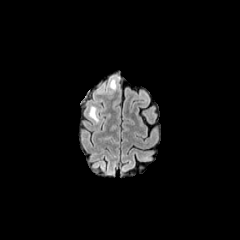
FLAIR MR.
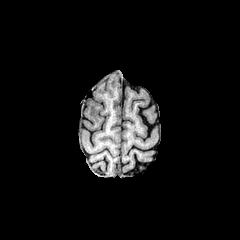
T1-weighted MR image.
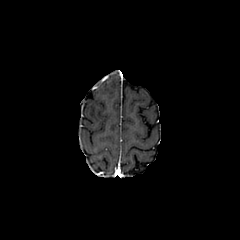
Post-contrast T1-weighted MRI.
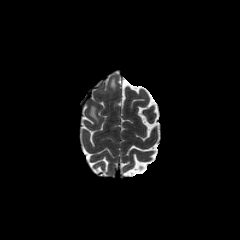
T2-weighted magnetic resonance.
Axial view. Image size 240x240.
Findings:
- peritumoral edema: box(110, 78, 116, 89); box(89, 106, 98, 121)